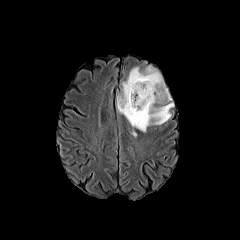
FLAIR MR image.
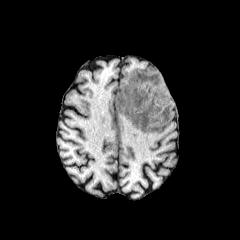
T1-weighted MR.
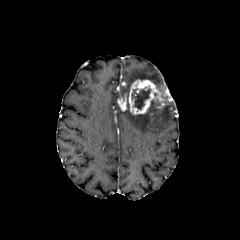
Post-contrast T1-weighted MR.
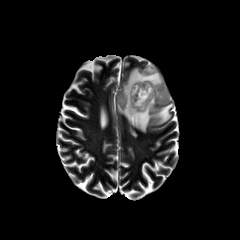
T2-weighted MR image.
Head
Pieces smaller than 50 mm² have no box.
peritumoral edema = 122,65,163,94; 116,101,173,132
necrotic tumor core = 131,88,150,109
enhancing tumor = 129,79,165,114; 117,93,127,111